Slice 93/155, Axial view, 240x240 px, Brain
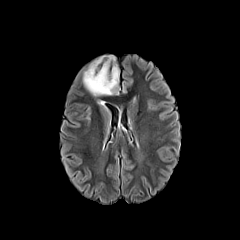
FLAIR MRI.
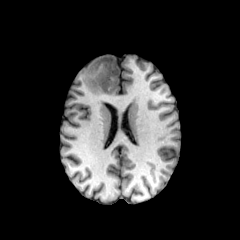
T1-weighted MR image of the same slice.
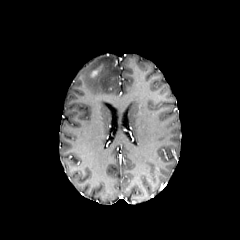
Same slice, post-contrast T1-weighted MRI.
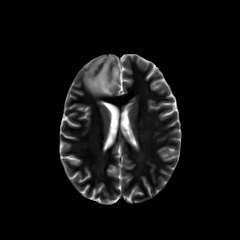
T2-weighted magnetic resonance of the same slice.
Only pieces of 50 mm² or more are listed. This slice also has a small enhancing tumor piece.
peritumoral edema: [83, 55, 119, 95]